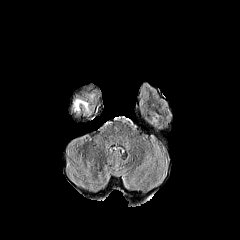
FLAIR magnetic resonance.
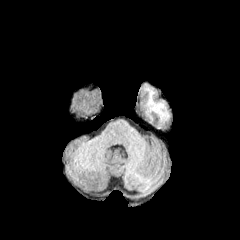
T1-weighted MR image of the same slice.
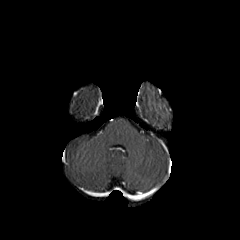
Post-contrast T1-weighted magnetic resonance.
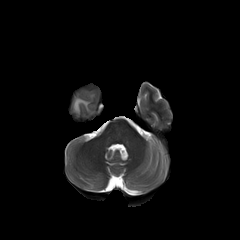
Same slice, T2-weighted MRI.
Head
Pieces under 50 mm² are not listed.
peritumoral edema: [73, 98, 89, 112]